Axial view | Image size 240x240
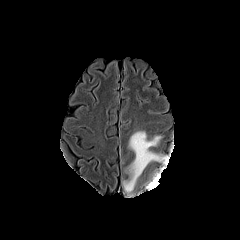
FLAIR MR.
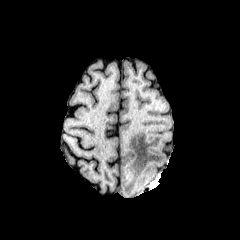
T1-weighted MRI of the same slice.
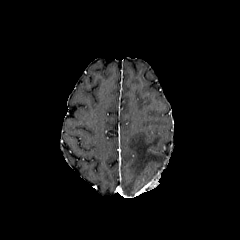
Post-contrast T1-weighted MR image of the same slice.
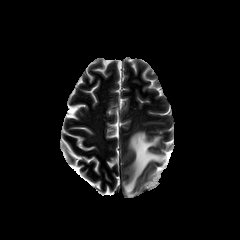
T2-weighted MR.
<segmentation>
  <peritumoral_edema>123:131:164:194</peritumoral_edema>
</segmentation>